FLAIR magnetic resonance.
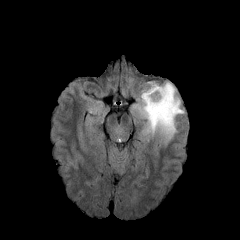
T1-weighted MRI.
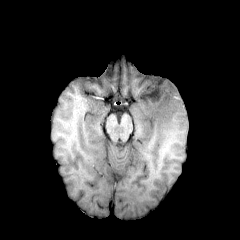
Post-contrast T1-weighted MR image.
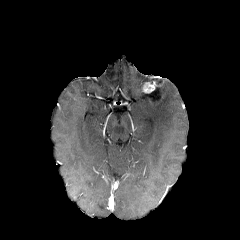
T2-weighted MRI.
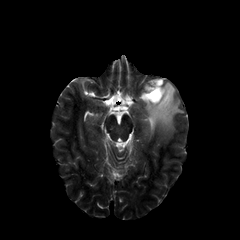
Axial plane
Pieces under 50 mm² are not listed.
The largest peritumoral edema region appears at [x1=132, y1=82, x2=184, y2=143]. 2 enhancing tumor regions appear at [x1=147, y1=83, x2=167, y2=105], [x1=143, y1=81, x2=160, y2=94]. The largest necrotic tumor core region lies within [x1=148, y1=87, x2=161, y2=103].